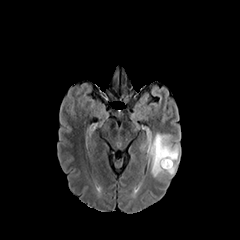
FLAIR MRI.
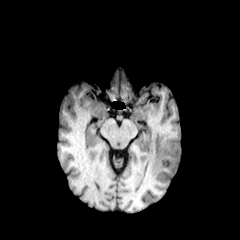
T1-weighted MRI.
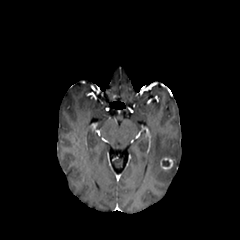
Same slice, post-contrast T1-weighted MR image.
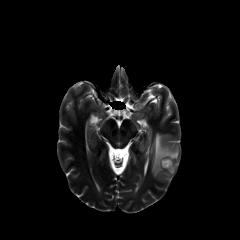
T2-weighted MRI.
Image size 240x240
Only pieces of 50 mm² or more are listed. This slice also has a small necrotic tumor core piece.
enhancing tumor at {"x1": 160, "y1": 157, "x2": 174, "y2": 169}
peritumoral edema at {"x1": 151, "y1": 133, "x2": 180, "y2": 179}